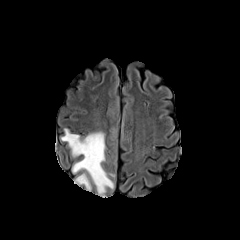
FLAIR MR.
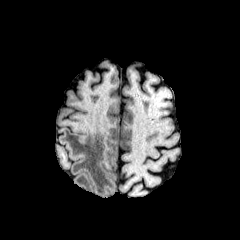
T1-weighted MRI of the same slice.
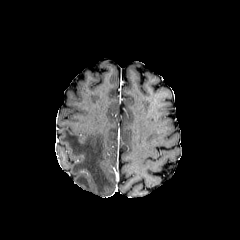
Post-contrast T1-weighted MR image.
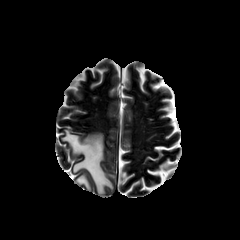
T2-weighted MR image.
Axial view; Image size 240x240
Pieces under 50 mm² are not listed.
peritumoral_edema:
  - 75:174:91:190
  - 61:129:113:195